FLAIR magnetic resonance.
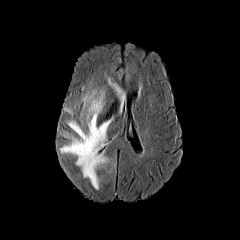
T1-weighted MR.
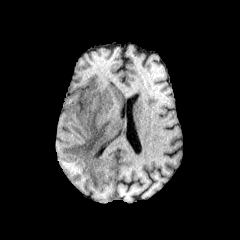
Post-contrast T1-weighted MR.
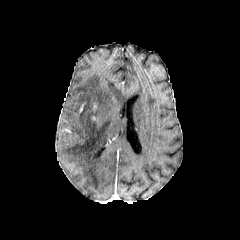
T2-weighted magnetic resonance.
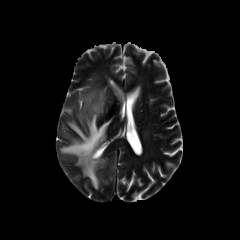
Brain | 240x240
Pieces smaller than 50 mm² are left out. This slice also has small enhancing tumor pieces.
{"peritumoral_edema": ["[x1=60, y1=89, x2=112, y2=189]", "[x1=108, y1=78, x2=125, y2=109]"]}